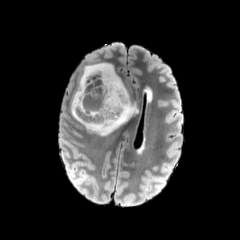
FLAIR MR image.
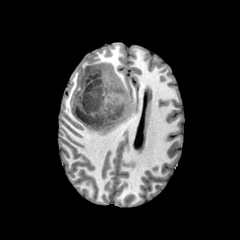
Same slice, T1-weighted magnetic resonance.
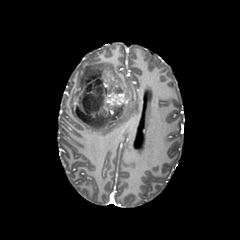
Post-contrast T1-weighted MR image.
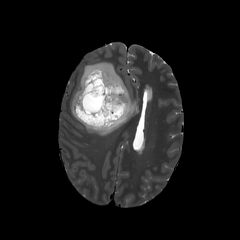
T2-weighted MR image.
Brain.
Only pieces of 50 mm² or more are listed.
necrotic tumor core = (75,73,122,124)
peritumoral edema = (71,63,137,135)
enhancing tumor = (73,71,128,118)